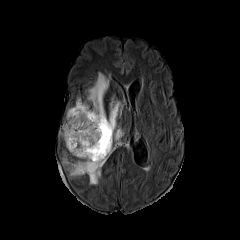
FLAIR MRI.
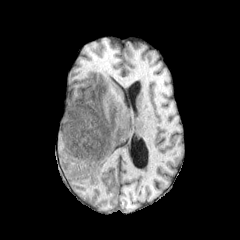
T1-weighted MR.
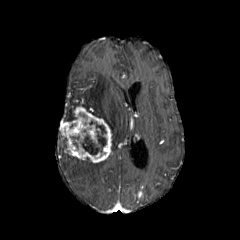
Post-contrast T1-weighted MR.
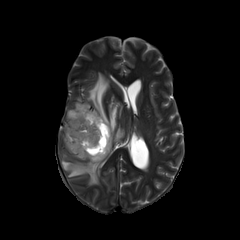
Same slice, T2-weighted magnetic resonance.
Brain
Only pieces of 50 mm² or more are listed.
<segmentation>
  <enhancing_tumor>60 105 112 162</enhancing_tumor>
  <necrotic_tumor_core>81 121 106 154</necrotic_tumor_core>
  <peritumoral_edema>62 156 106 184, 67 72 123 151</peritumoral_edema>
</segmentation>